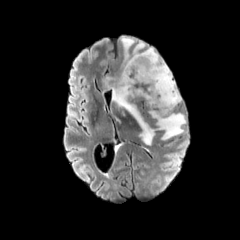
FLAIR MRI.
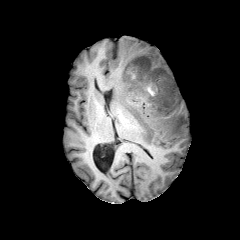
Same slice, T1-weighted MR.
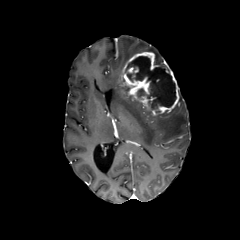
Post-contrast T1-weighted MRI.
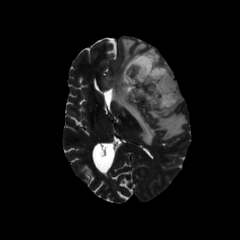
T2-weighted MRI of the same slice.
Image size 240x240 | Brain | Axial view
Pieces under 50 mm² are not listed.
necrotic tumor core — x1=137, y1=88, x2=145, y2=97; x1=126, y1=56, x2=176, y2=109
peritumoral edema — x1=103, y1=36, x2=186, y2=144
enhancing tumor — x1=120, y1=51, x2=179, y2=116